Image width 240 mm, 240x240 px
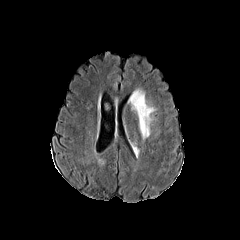
FLAIR MR image.
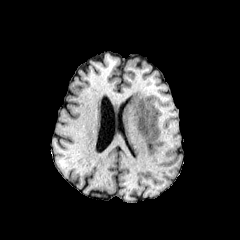
Same slice, T1-weighted MRI.
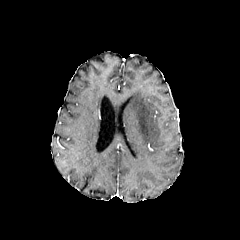
Post-contrast T1-weighted MRI.
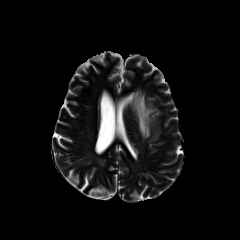
T2-weighted MRI of the same slice.
{
  "peritumoral_edema": [
    "130, 89, 155, 139"
  ]
}